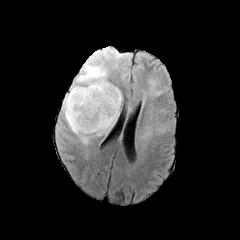
FLAIR MRI.
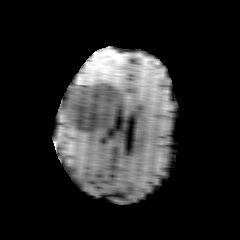
Same slice, T1-weighted MRI.
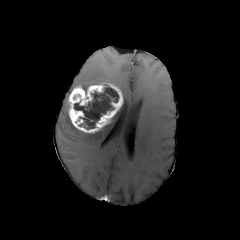
Same slice, post-contrast T1-weighted MRI.
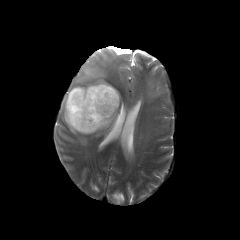
T2-weighted magnetic resonance.
Brain, Axial slice
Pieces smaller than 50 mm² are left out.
enhancing tumor — bbox(68, 83, 123, 133)
peritumoral edema — bbox(69, 63, 107, 91); bbox(61, 94, 121, 144)
necrotic tumor core — bbox(74, 87, 118, 127)